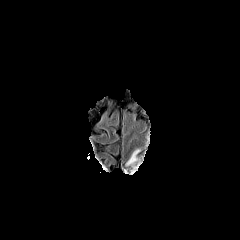
FLAIR MR.
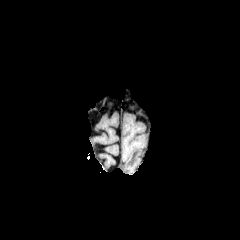
T1-weighted magnetic resonance.
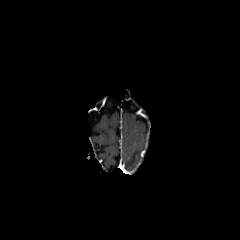
Same slice, post-contrast T1-weighted magnetic resonance.
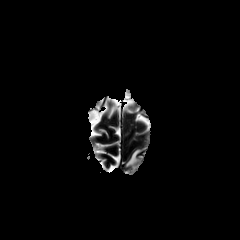
T2-weighted MRI.
Head
peritumoral_edema:
  - [125,148,141,167]